FLAIR MRI.
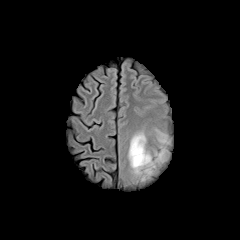
T1-weighted MR image.
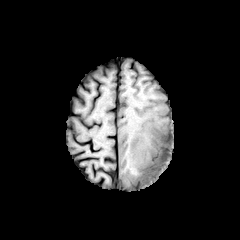
Post-contrast T1-weighted MR image.
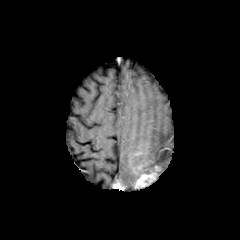
T2-weighted MR image.
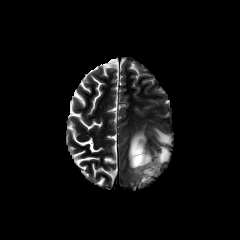
Head; 240x240 px
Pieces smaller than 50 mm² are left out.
enhancing tumor: <box>136,161,159,186</box> | necrotic tumor core: <box>134,155,147,164</box> | peritumoral edema: <box>128,128,170,177</box>